Axial slice, Head
FLAIR MR image.
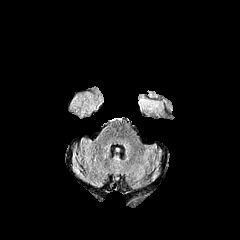
T1-weighted magnetic resonance.
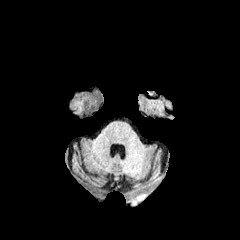
Post-contrast T1-weighted MR image.
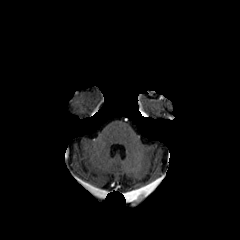
T2-weighted MR image.
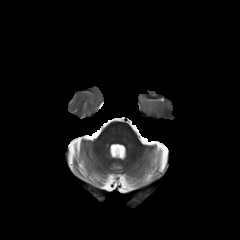
peritumoral edema: bounding box region(146, 101, 161, 110)